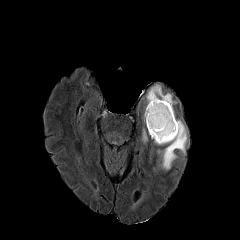
FLAIR MR.
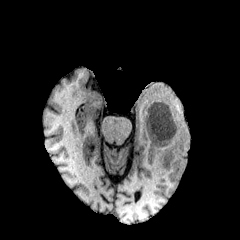
T1-weighted MRI.
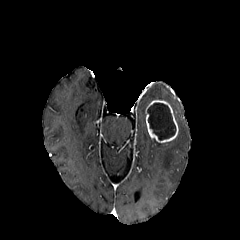
Same slice, post-contrast T1-weighted MR image.
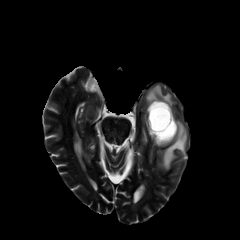
T2-weighted MRI.
Head
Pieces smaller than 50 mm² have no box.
necrotic tumor core = [x1=147, y1=103, x2=175, y2=140]
peritumoral edema = [x1=154, y1=119, x2=187, y2=170], [x1=142, y1=128, x2=147, y2=142], [x1=146, y1=84, x2=176, y2=107]
enhancing tumor = [x1=145, y1=100, x2=178, y2=143]